Slice 115/155
FLAIR MR.
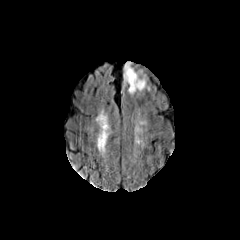
T1-weighted MRI.
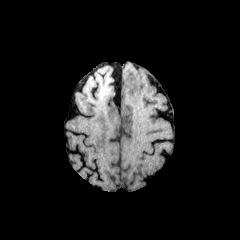
Post-contrast T1-weighted magnetic resonance.
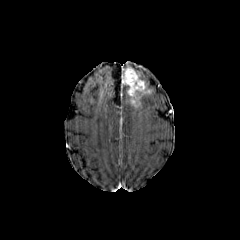
T2-weighted MRI.
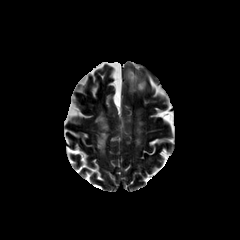
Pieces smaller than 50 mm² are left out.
The largest peritumoral edema region is located at [129, 76, 150, 105]. The enhancing tumor is at [123, 67, 145, 103].